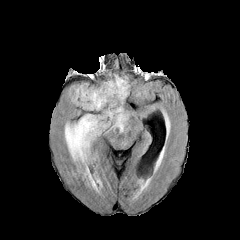
FLAIR magnetic resonance.
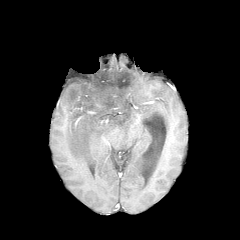
Same slice, T1-weighted MR.
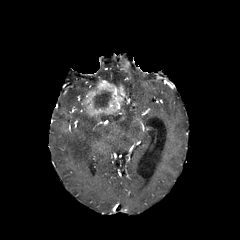
Post-contrast T1-weighted MR.
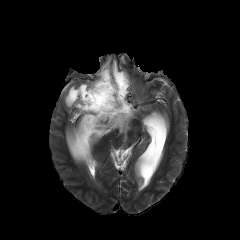
Same slice, T2-weighted magnetic resonance.
Head; Axial plane
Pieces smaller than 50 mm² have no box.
enhancing_tumor:
  - <bbox>81, 79, 126, 118</bbox>
necrotic_tumor_core:
  - <bbox>94, 91, 110, 107</bbox>
peritumoral_edema:
  - <bbox>67, 84, 89, 106</bbox>
  - <bbox>105, 73, 129, 95</bbox>
  - <bbox>65, 104, 131, 166</bbox>